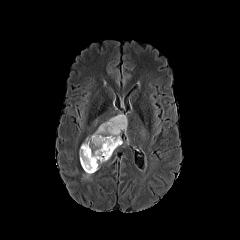
FLAIR MR.
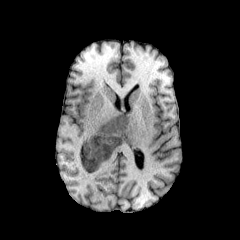
T1-weighted MRI of the same slice.
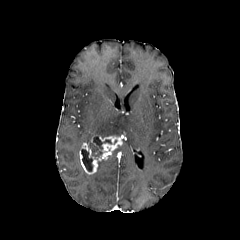
Post-contrast T1-weighted magnetic resonance.
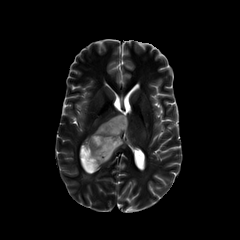
T2-weighted magnetic resonance of the same slice.
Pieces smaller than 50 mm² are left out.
- enhancing tumor: [79,135,122,174]
- peritumoral edema: [85,114,127,142]
- necrotic tumor core: [89,137,111,157], [81,149,92,171]